FLAIR MRI.
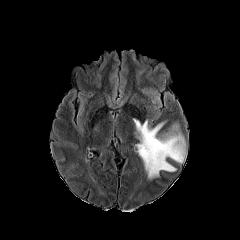
T1-weighted MR image.
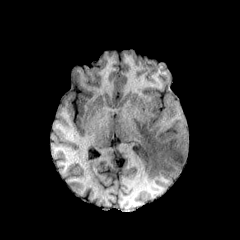
Post-contrast T1-weighted MR.
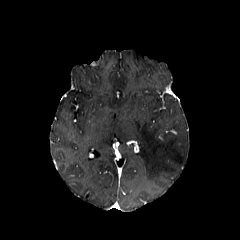
T2-weighted magnetic resonance.
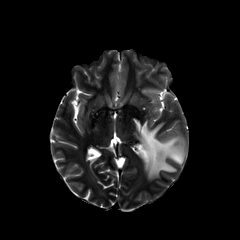
Head, Axial view, 240x240
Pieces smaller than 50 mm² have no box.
The largest peritumoral edema region lies within (x1=133, y1=119, x2=186, y2=179).